Head, Slice 38 of 155
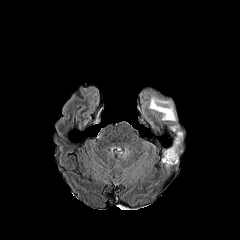
FLAIR MR image.
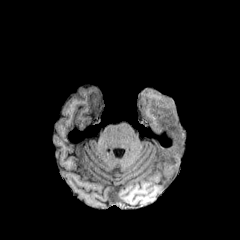
T1-weighted MRI.
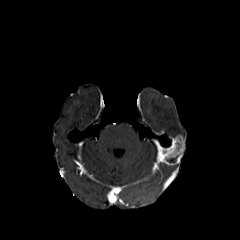
Same slice, post-contrast T1-weighted magnetic resonance.
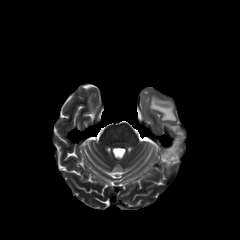
Same slice, T2-weighted MRI.
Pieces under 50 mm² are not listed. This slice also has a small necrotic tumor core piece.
2 peritumoral edema regions are bounded by bbox=[169, 124, 183, 135]; bbox=[149, 95, 175, 121]. The enhancing tumor is located at bbox=[160, 134, 184, 165].